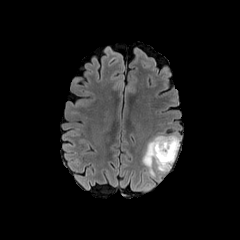
FLAIR MRI.
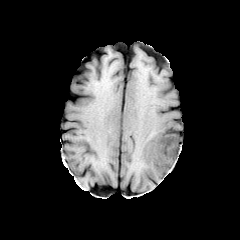
T1-weighted MR image.
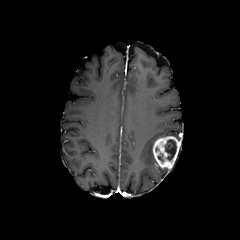
Same slice, post-contrast T1-weighted MR image.
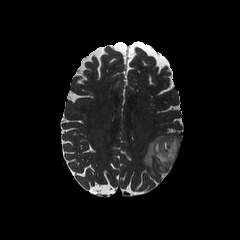
T2-weighted MR image.
240x240. Head.
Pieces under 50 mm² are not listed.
<segmentation>
  <enhancing_tumor>[152,136,180,169]</enhancing_tumor>
  <peritumoral_edema>[142,134,181,176], [155,165,169,172]</peritumoral_edema>
  <necrotic_tumor_core>[165,139,176,160]</necrotic_tumor_core>
</segmentation>